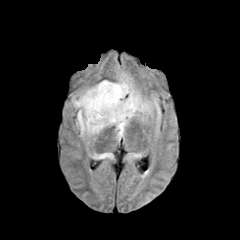
FLAIR magnetic resonance.
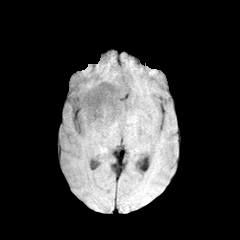
T1-weighted magnetic resonance of the same slice.
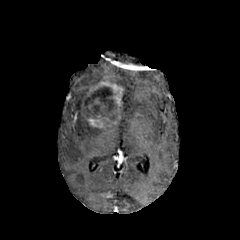
Post-contrast T1-weighted MR image of the same slice.
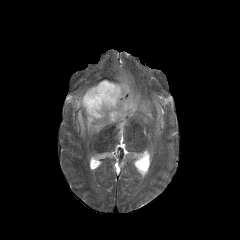
T2-weighted MRI of the same slice.
Head
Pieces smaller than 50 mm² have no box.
The largest necrotic tumor core region lies within (x1=82, y1=86, x2=118, y2=121). The 3 largest peritumoral edema regions are bounded by (x1=93, y1=154, x2=109, y2=159), (x1=111, y1=71, x2=159, y2=139), (x1=72, y1=87, x2=104, y2=136). The largest enhancing tumor region appears at (x1=80, y1=81, x2=123, y2=128).